FLAIR magnetic resonance.
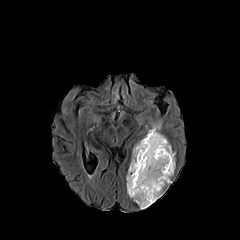
T1-weighted MR.
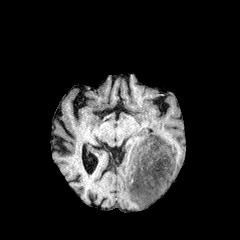
Post-contrast T1-weighted MRI.
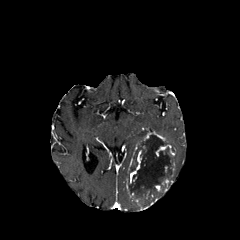
T2-weighted MR.
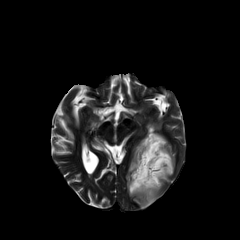
Head | Axial slice
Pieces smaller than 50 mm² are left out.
The necrotic tumor core is bounded by [x1=128, y1=134, x2=174, y2=207]. The 6 largest enhancing tumor regions are bounded by [x1=126, y1=179, x2=134, y2=199], [x1=142, y1=131, x2=166, y2=141], [x1=155, y1=144, x2=174, y2=156], [x1=134, y1=198, x2=157, y2=209], [x1=161, y1=177, x2=171, y2=185], [x1=130, y1=150, x2=141, y2=183]. The largest peritumoral edema region appears at [x1=149, y1=121, x2=164, y2=136].